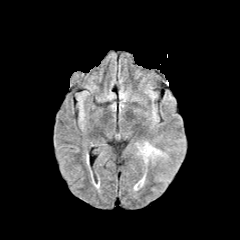
FLAIR MRI.
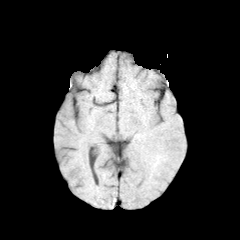
T1-weighted magnetic resonance of the same slice.
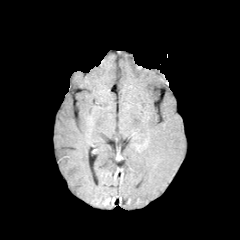
Post-contrast T1-weighted MR image of the same slice.
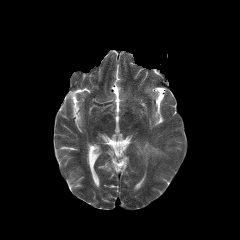
T2-weighted MRI.
peritumoral edema: bbox(141, 144, 161, 155)